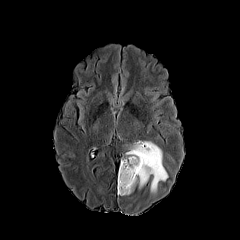
FLAIR magnetic resonance.
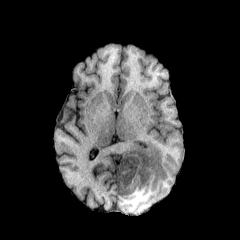
T1-weighted MRI.
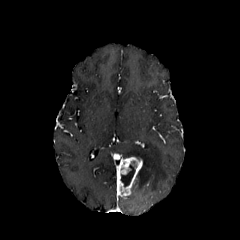
Post-contrast T1-weighted MR.
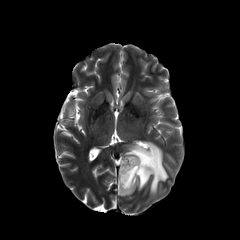
T2-weighted magnetic resonance.
Brain, 240x240, Axial slice
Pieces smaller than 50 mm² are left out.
necrotic tumor core at [121,164,135,186]
enhancing tumor at [117,156,142,196]
peritumoral edema at [125,141,167,192]